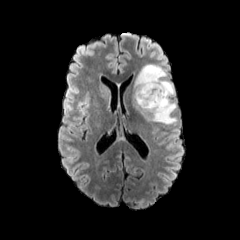
FLAIR MR.
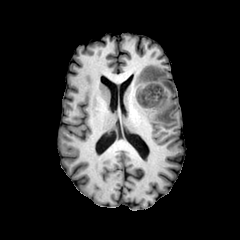
Same slice, T1-weighted magnetic resonance.
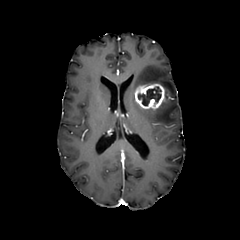
Post-contrast T1-weighted MRI of the same slice.
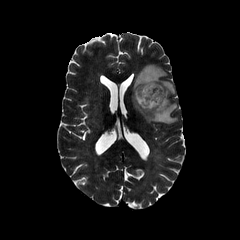
Same slice, T2-weighted MRI.
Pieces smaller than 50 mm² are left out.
Annotated regions:
• necrotic tumor core: l=137, t=86, r=161, b=105
• enhancing tumor: l=135, t=83, r=166, b=109
• peritumoral edema: l=132, t=64, r=176, b=124